Head | Axial plane
FLAIR MR.
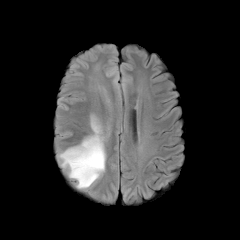
T1-weighted MRI.
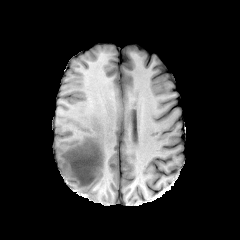
Post-contrast T1-weighted MR.
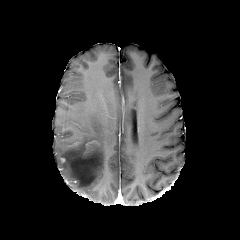
T2-weighted MR image.
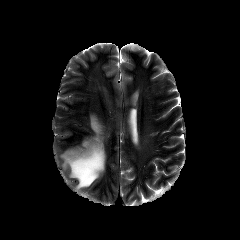
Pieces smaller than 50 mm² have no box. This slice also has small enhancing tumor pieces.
peritumoral edema: (x1=59, y1=115, x2=106, y2=188)